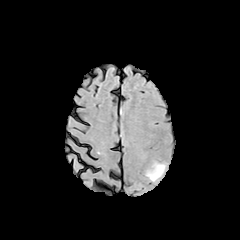
FLAIR MRI.
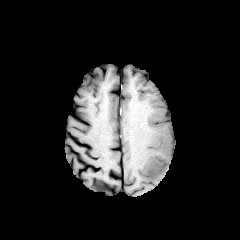
T1-weighted MR of the same slice.
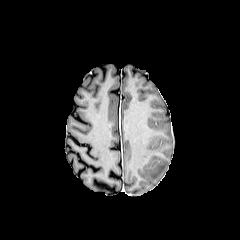
Same slice, post-contrast T1-weighted magnetic resonance.
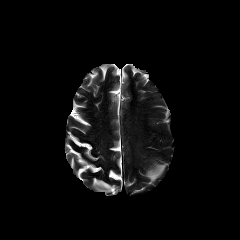
Same slice, T2-weighted MR image.
Head; 240x240
Findings:
- peritumoral edema: x1=146 y1=163 x2=165 y2=181